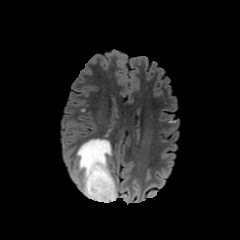
FLAIR magnetic resonance.
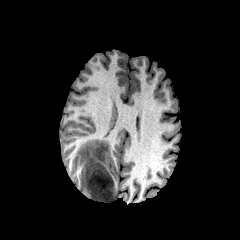
T1-weighted MRI.
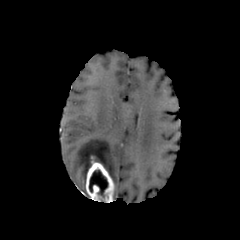
Post-contrast T1-weighted MRI.
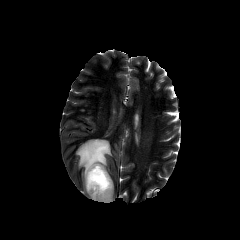
T2-weighted magnetic resonance.
Axial slice
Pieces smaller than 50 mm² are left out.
<segmentation>
  <peritumoral_edema>77:139:111:198</peritumoral_edema>
  <enhancing_tumor>85:156:114:202</enhancing_tumor>
  <necrotic_tumor_core>89:170:108:197</necrotic_tumor_core>
</segmentation>